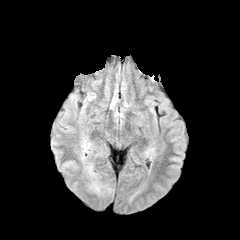
FLAIR MRI.
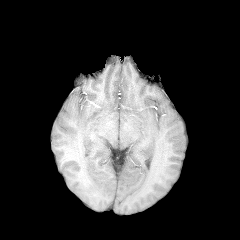
Same slice, T1-weighted magnetic resonance.
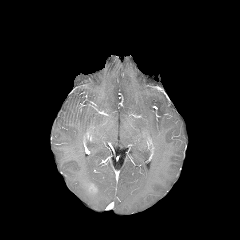
Same slice, post-contrast T1-weighted magnetic resonance.
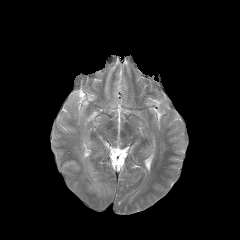
Same slice, T2-weighted MR image.
Head | Axial plane
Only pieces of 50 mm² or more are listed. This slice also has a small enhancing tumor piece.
peritumoral edema: box(81, 137, 92, 161); box(88, 180, 102, 193); box(84, 162, 96, 178)